FLAIR magnetic resonance.
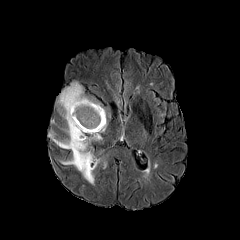
T1-weighted MR image.
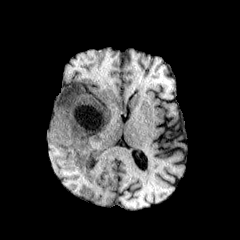
Post-contrast T1-weighted magnetic resonance.
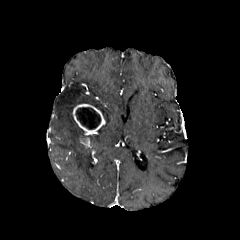
T2-weighted MR image.
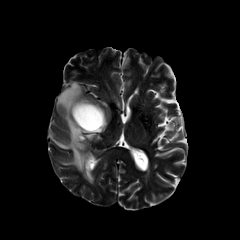
Brain
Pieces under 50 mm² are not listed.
{
  "necrotic_tumor_core": [
    "region(76, 107, 100, 129)"
  ],
  "enhancing_tumor": [
    "region(80, 138, 87, 147)",
    "region(72, 104, 105, 133)"
  ],
  "peritumoral_edema": [
    "region(49, 81, 106, 184)"
  ]
}